FLAIR MRI.
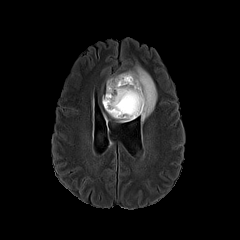
T1-weighted MRI.
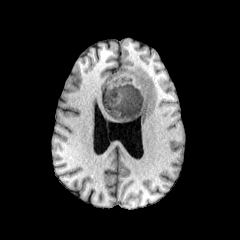
Post-contrast T1-weighted magnetic resonance.
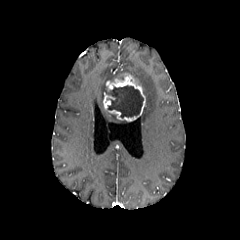
T2-weighted magnetic resonance.
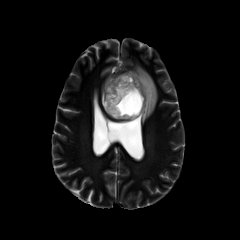
Axial slice; Head; 240x240 px
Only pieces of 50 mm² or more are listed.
enhancing tumor — bbox=[103, 73, 145, 121]
peritumoral edema — bbox=[107, 73, 123, 81]; bbox=[125, 64, 156, 122]
necrotic tumor core — bbox=[106, 85, 143, 118]